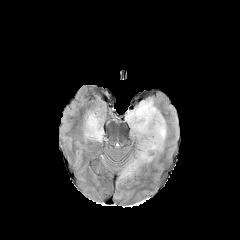
FLAIR MRI.
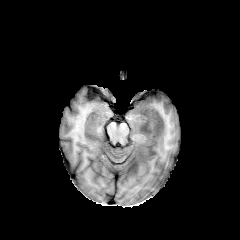
T1-weighted magnetic resonance of the same slice.
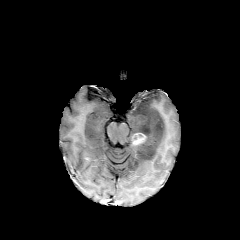
Post-contrast T1-weighted magnetic resonance of the same slice.
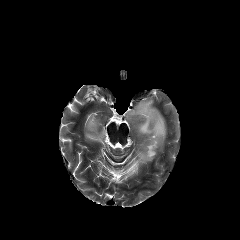
T2-weighted MRI of the same slice.
Brain
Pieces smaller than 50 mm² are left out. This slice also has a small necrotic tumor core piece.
<segmentation>
  <enhancing_tumor>133,133,145,144</enhancing_tumor>
  <peritumoral_edema>84,114,103,142; 119,98,166,180</peritumoral_edema>
</segmentation>